Axial plane.
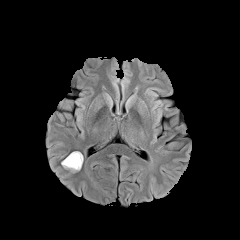
FLAIR magnetic resonance.
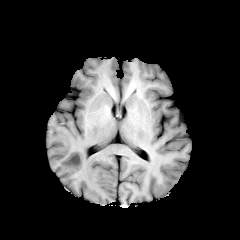
T1-weighted MR of the same slice.
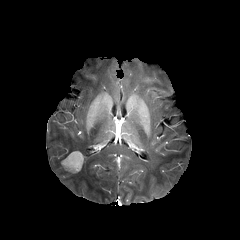
Post-contrast T1-weighted MRI.
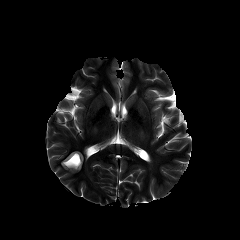
T2-weighted MR image.
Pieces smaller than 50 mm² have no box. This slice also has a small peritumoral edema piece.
The enhancing tumor lies within x1=62, y1=151, x2=83, y2=171.